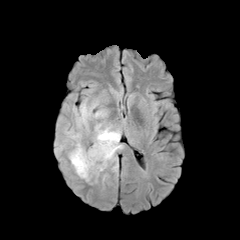
FLAIR MRI.
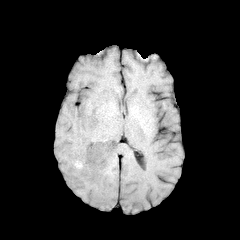
T1-weighted MR image of the same slice.
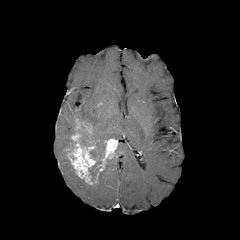
Post-contrast T1-weighted magnetic resonance.
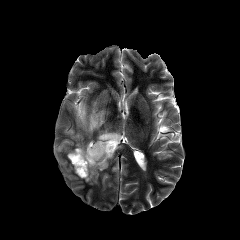
T2-weighted MR image of the same slice.
Axial plane | Brain
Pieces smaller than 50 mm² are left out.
<segmentation>
  <necrotic_tumor_core>box(89, 161, 101, 180)</necrotic_tumor_core>
  <peritumoral_edema>box(64, 128, 76, 138); box(74, 101, 121, 158); box(105, 156, 118, 171); box(55, 139, 74, 154)</peritumoral_edema>
  <enhancing_tumor>box(67, 132, 118, 184)</enhancing_tumor>
</segmentation>